Slice index 109, Head
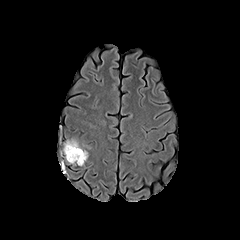
FLAIR MR.
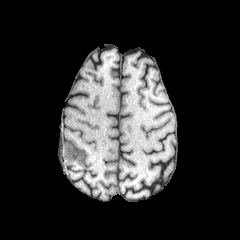
T1-weighted magnetic resonance.
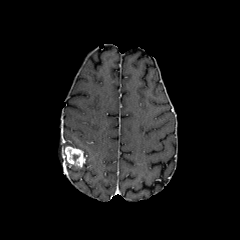
Post-contrast T1-weighted magnetic resonance of the same slice.
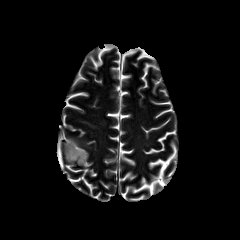
T2-weighted MRI.
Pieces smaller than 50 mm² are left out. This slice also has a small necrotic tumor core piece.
The enhancing tumor is bounded by rect(64, 146, 85, 166). The largest peritumoral edema region is located at rect(63, 139, 87, 160).